Axial plane; Slice index 118; Image size 240x240
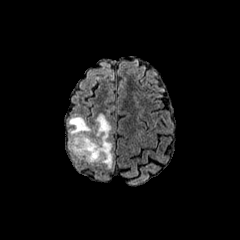
FLAIR MRI.
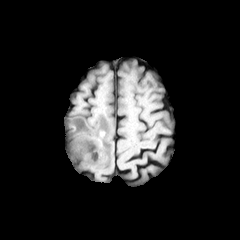
T1-weighted MR image.
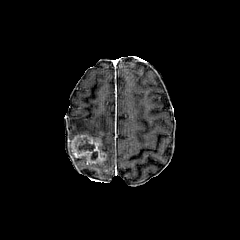
Same slice, post-contrast T1-weighted MRI.
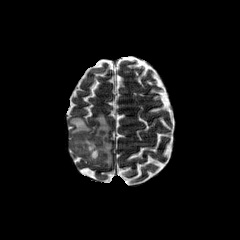
T2-weighted magnetic resonance.
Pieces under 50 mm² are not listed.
Findings:
- necrotic tumor core: bbox(91, 151, 97, 160); bbox(75, 138, 94, 152)
- enhancing tumor: bbox(69, 134, 106, 163)
- peritumoral edema: bbox(69, 113, 112, 168)